FLAIR magnetic resonance.
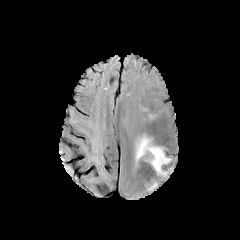
T1-weighted MR image.
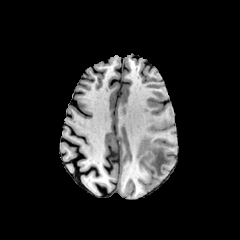
Post-contrast T1-weighted MRI.
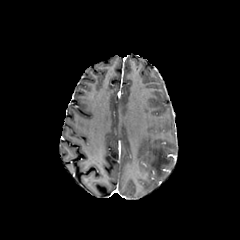
T2-weighted MR image.
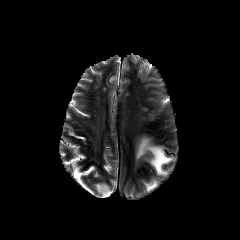
Segmented structures:
• peritumoral edema: 148,181,156,190; 135,135,172,176